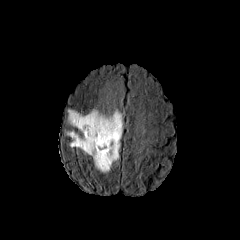
FLAIR magnetic resonance.
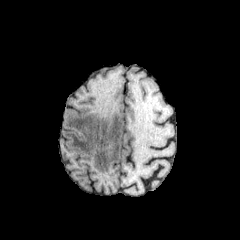
T1-weighted MRI of the same slice.
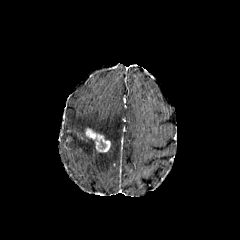
Post-contrast T1-weighted MRI.
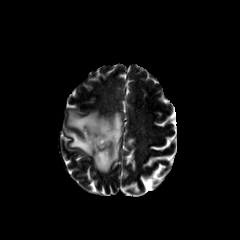
Same slice, T2-weighted magnetic resonance.
Image size 240x240, Axial view
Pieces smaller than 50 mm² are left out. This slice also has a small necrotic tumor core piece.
The enhancing tumor is located at 85:128:110:152. The peritumoral edema is bounded by 65:107:122:172.